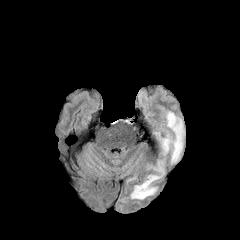
FLAIR magnetic resonance.
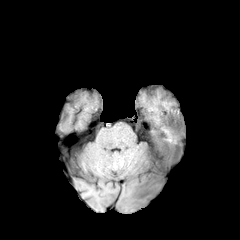
T1-weighted MRI of the same slice.
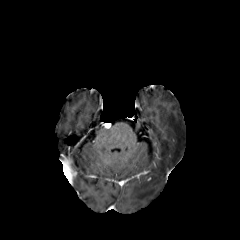
Post-contrast T1-weighted magnetic resonance of the same slice.
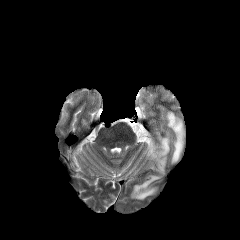
Same slice, T2-weighted MR image.
Image size 240x240
peritumoral edema: bounding box (x1=130, y1=111, x2=185, y2=199)